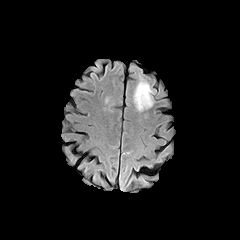
FLAIR magnetic resonance.
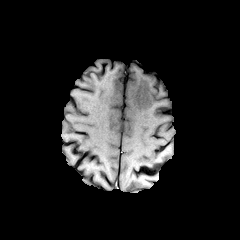
T1-weighted MR.
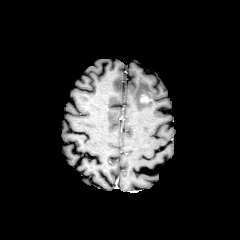
Same slice, post-contrast T1-weighted magnetic resonance.
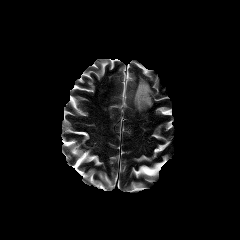
T2-weighted MR image.
Head
Segmented structures:
• enhancing tumor: 140, 94, 150, 102
• peritumoral edema: 133, 75, 154, 111; 103, 98, 107, 110